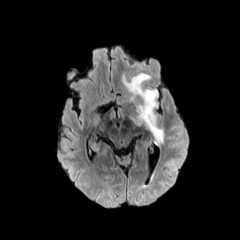
FLAIR MR image.
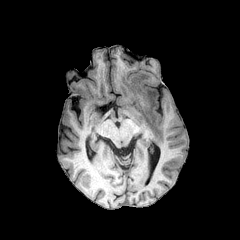
T1-weighted MR.
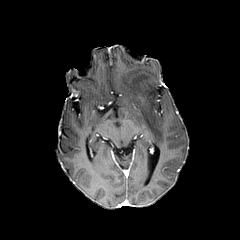
Same slice, post-contrast T1-weighted magnetic resonance.
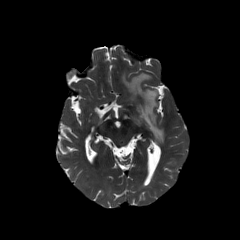
T2-weighted MRI.
Head
peritumoral edema — x1=122 y1=73 x2=163 y2=144